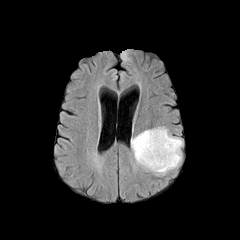
FLAIR MR image.
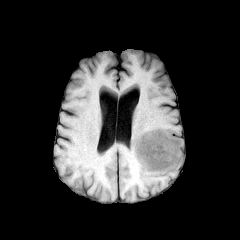
T1-weighted MRI of the same slice.
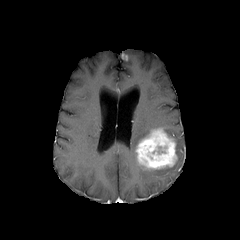
Post-contrast T1-weighted MRI.
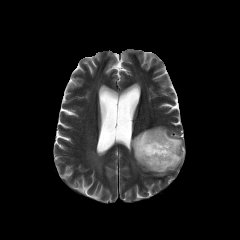
Same slice, T2-weighted magnetic resonance.
Head, Axial view
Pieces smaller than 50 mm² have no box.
* enhancing tumor: 135, 128, 177, 170
* peritumoral edema: 151, 127, 182, 175; 131, 129, 151, 161